Head
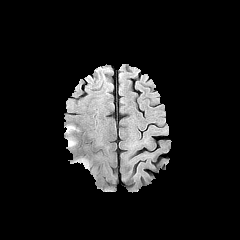
FLAIR MR image.
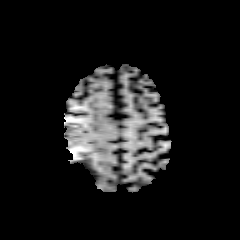
Same slice, T1-weighted MRI.
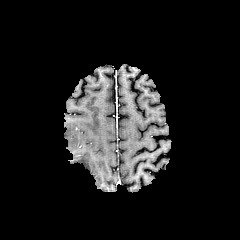
Post-contrast T1-weighted MRI.
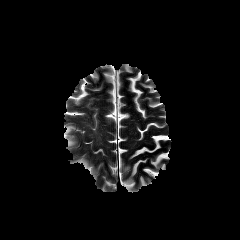
T2-weighted MR of the same slice.
peritumoral edema: 65:125:75:133, 67:138:75:146, 76:158:89:168